Axial plane; Head
FLAIR MR.
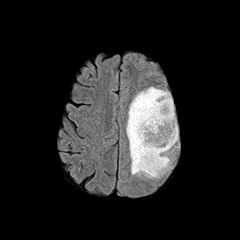
T1-weighted MR.
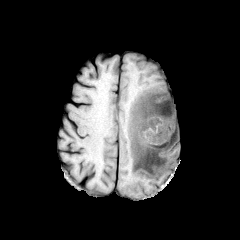
Post-contrast T1-weighted MR image.
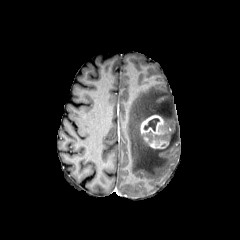
T2-weighted MRI.
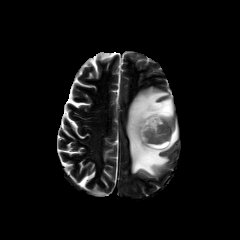
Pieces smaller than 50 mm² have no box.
The largest necrotic tumor core region appears at [144,118,159,131]. The 2 largest enhancing tumor regions appear at [149,140,168,148], [140,115,166,135]. The peritumoral edema lies within [126,86,178,178].